FLAIR MR image.
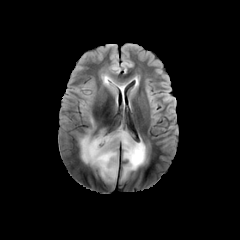
T1-weighted MRI.
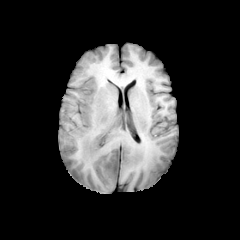
Post-contrast T1-weighted MRI.
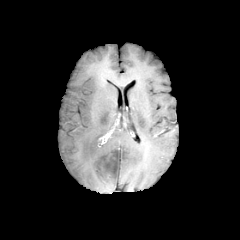
T2-weighted MR.
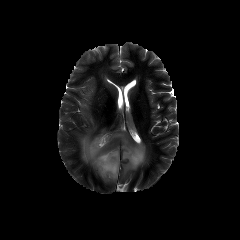
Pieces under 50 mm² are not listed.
necrotic tumor core: bounding box box(107, 152, 117, 171)
peritumoral edema: bounding box box(79, 130, 146, 181)